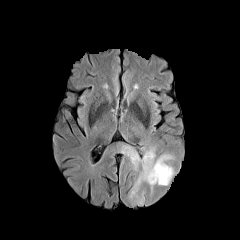
FLAIR MR image.
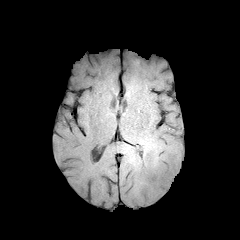
T1-weighted MR.
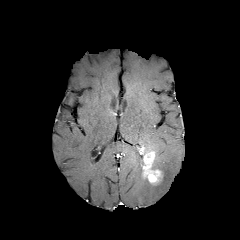
Post-contrast T1-weighted MR image of the same slice.
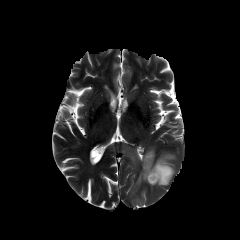
T2-weighted MRI.
Axial view; 240x240 px
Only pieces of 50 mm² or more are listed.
<segmentation>
  <enhancing_tumor>region(142, 151, 162, 184)</enhancing_tumor>
  <peritumoral_edema>region(130, 169, 154, 204); region(122, 145, 143, 167); region(152, 154, 174, 185)</peritumoral_edema>
</segmentation>